Image width 240 mm
FLAIR MRI.
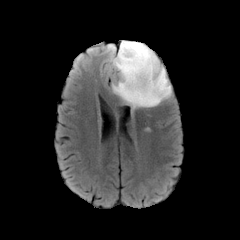
T1-weighted magnetic resonance.
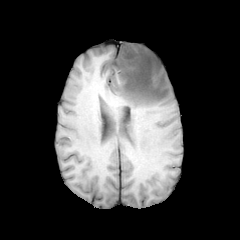
Post-contrast T1-weighted MRI.
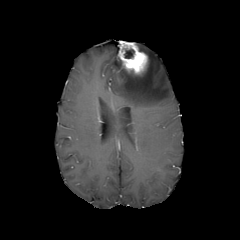
T2-weighted MR.
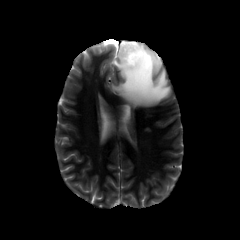
- peritumoral edema: <bbox>109, 43, 171, 108</bbox>
- enhancing tumor: <bbox>118, 41, 148, 74</bbox>
- necrotic tumor core: <bbox>125, 49, 134, 58</bbox>